FLAIR magnetic resonance.
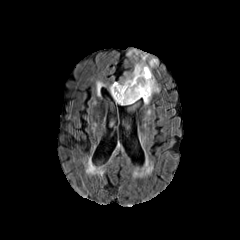
T1-weighted MR image.
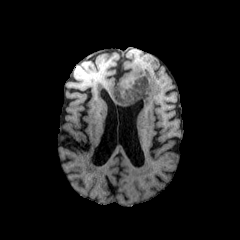
Post-contrast T1-weighted magnetic resonance.
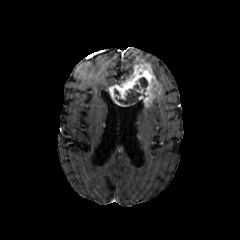
T2-weighted MRI.
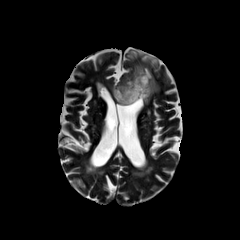
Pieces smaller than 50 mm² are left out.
necrotic tumor core = [115,89,141,104], [139,77,147,91]
peritumoral edema = [128,51,158,70]
enhancing tumor = [109,60,159,106]